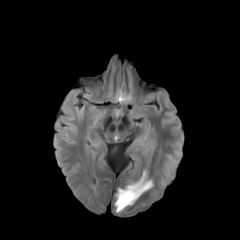
FLAIR MRI.
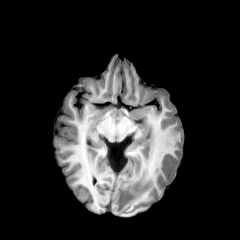
T1-weighted magnetic resonance.
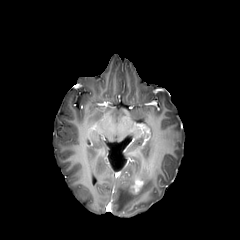
Post-contrast T1-weighted MRI.
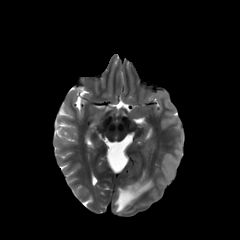
T2-weighted magnetic resonance.
enhancing tumor = (x1=131, y1=178, x2=143, y2=193)
peritumoral edema = (x1=115, y1=170, x2=153, y2=212)